Axial view | Slice 47/155 | Image width 240 mm
FLAIR MRI.
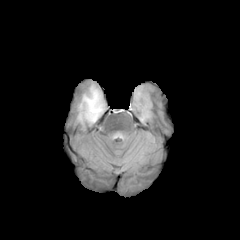
T1-weighted MRI.
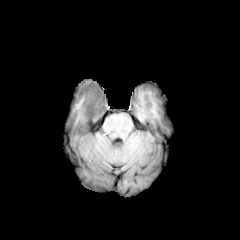
Post-contrast T1-weighted magnetic resonance.
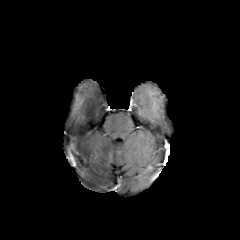
T2-weighted magnetic resonance.
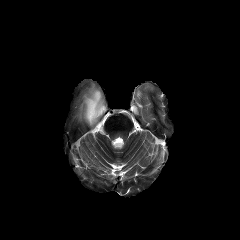
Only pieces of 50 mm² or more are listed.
- necrotic tumor core: (84,92,103,124)
- peritumoral edema: (78,84,105,123)